FLAIR MR image.
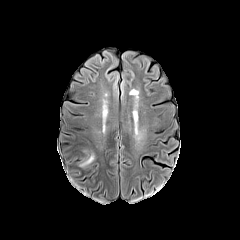
T1-weighted magnetic resonance.
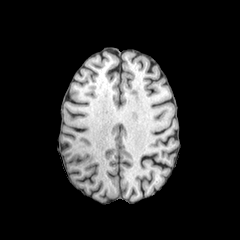
Post-contrast T1-weighted MR.
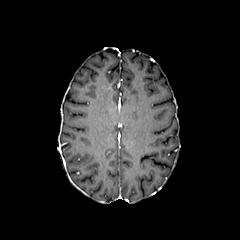
T2-weighted MR.
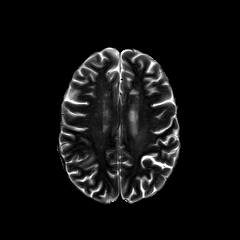
Axial slice; Brain; 240x240
peritumoral edema: box=[79, 154, 94, 166]